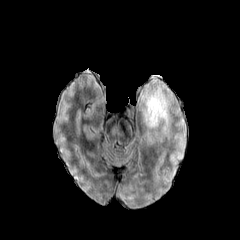
FLAIR MR.
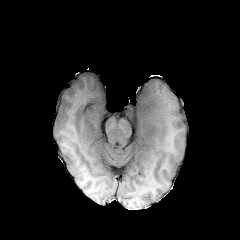
T1-weighted MR.
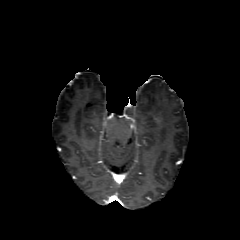
Post-contrast T1-weighted MR of the same slice.
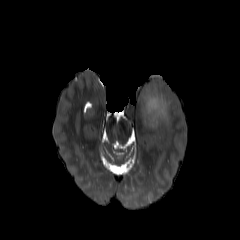
T2-weighted magnetic resonance.
Head; Axial plane
Annotated regions:
• peritumoral edema: [x1=142, y1=87, x2=169, y2=129]